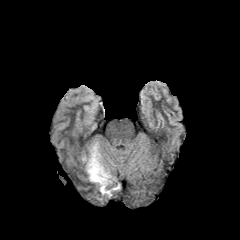
FLAIR magnetic resonance.
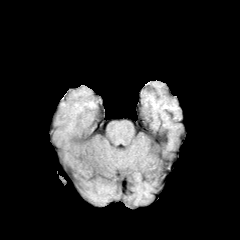
T1-weighted MR image.
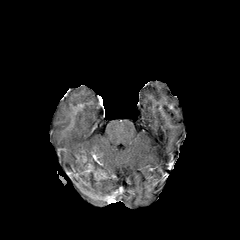
Post-contrast T1-weighted MR image.
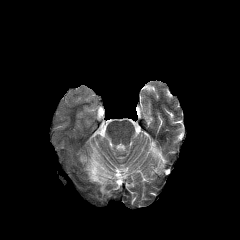
Same slice, T2-weighted MR.
240x240 | Axial view
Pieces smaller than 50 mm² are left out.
peritumoral edema at (84,142,111,195)
enhancing tumor at (87,163,109,180), (91,152,102,165)